Head, Axial slice, Slice index 121
FLAIR MR.
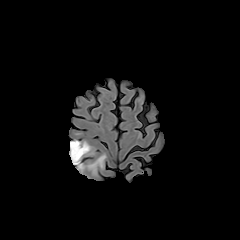
T1-weighted MR image.
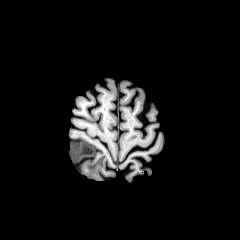
Post-contrast T1-weighted MRI.
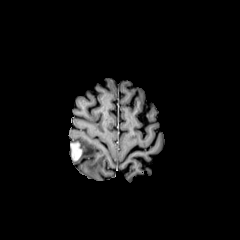
T2-weighted magnetic resonance.
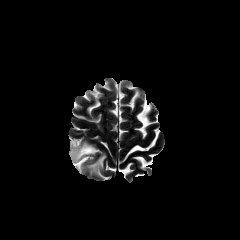
The enhancing tumor lies within region(70, 142, 82, 160). The peritumoral edema lies within region(69, 140, 106, 174).